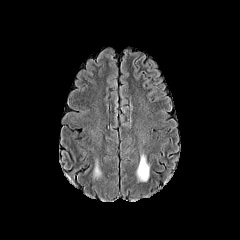
FLAIR magnetic resonance.
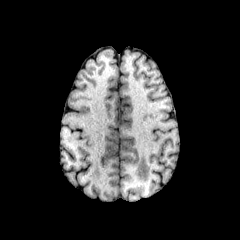
T1-weighted magnetic resonance.
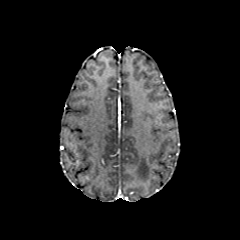
Post-contrast T1-weighted MR of the same slice.
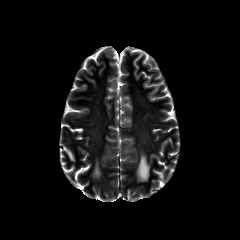
Same slice, T2-weighted MR.
Brain.
{"peritumoral_edema": ["93 160 101 178", "136 154 149 181"]}